Image covers 240 mm x 240 mm; Slice index 105
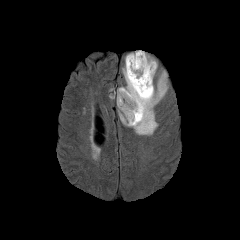
FLAIR magnetic resonance.
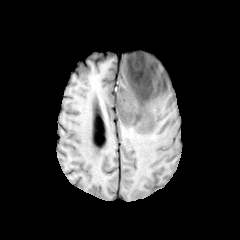
T1-weighted MR image.
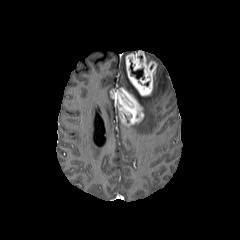
Same slice, post-contrast T1-weighted MRI.
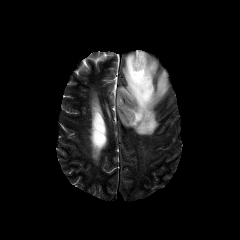
T2-weighted MRI.
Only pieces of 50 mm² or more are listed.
{
  "enhancing_tumor": [
    "x1=111 y1=87 x2=144 y2=125",
    "x1=126 y1=50 x2=157 y2=96"
  ],
  "necrotic_tumor_core": [
    "x1=130 y1=59 x2=144 y2=79"
  ],
  "peritumoral_edema": [
    "x1=122 y1=57 x2=168 y2=135"
  ]
}